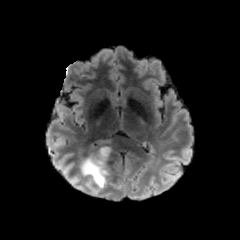
FLAIR magnetic resonance.
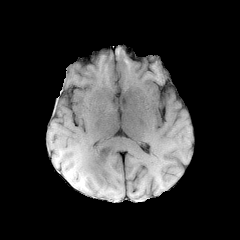
T1-weighted MRI.
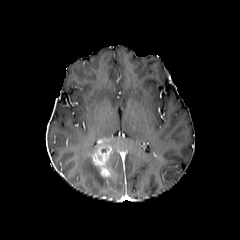
Same slice, post-contrast T1-weighted MR.
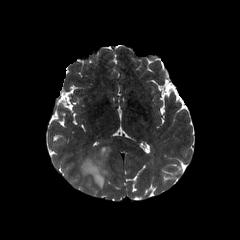
Same slice, T2-weighted MR image.
Head | Axial view | 240x240 px
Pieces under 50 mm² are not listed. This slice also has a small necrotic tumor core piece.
{"peritumoral_edema": ["[79,151,107,193]"], "enhancing_tumor": ["[92,148,111,178]"]}